FLAIR MR.
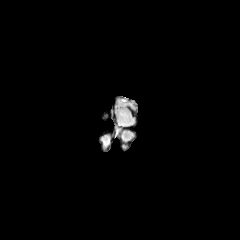
T1-weighted magnetic resonance.
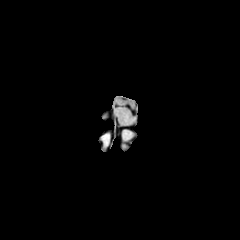
Post-contrast T1-weighted magnetic resonance.
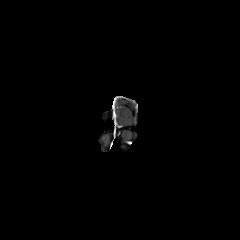
T2-weighted MR image.
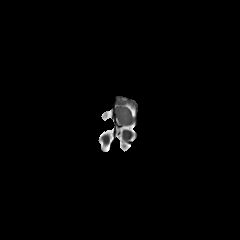
Image size 240x240
<segmentation>
  <peritumoral_edema>117, 108, 132, 124; 119, 98, 132, 106</peritumoral_edema>
</segmentation>